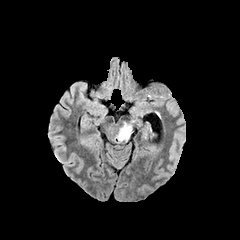
FLAIR MR.
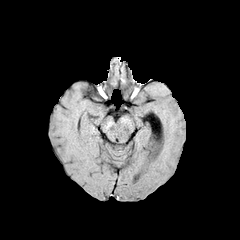
T1-weighted MR image of the same slice.
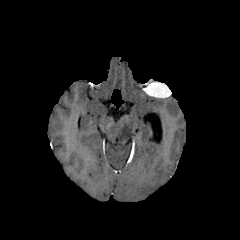
Post-contrast T1-weighted MRI.
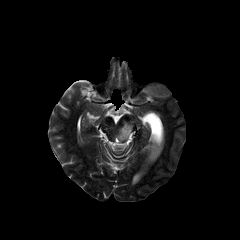
Same slice, T2-weighted MR.
Brain
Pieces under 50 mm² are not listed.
peritumoral edema: 115, 122, 132, 142